FLAIR MRI.
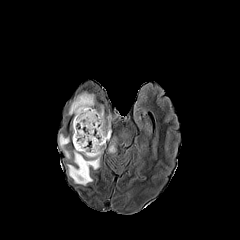
T1-weighted MR.
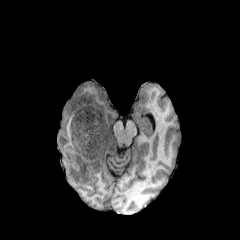
Post-contrast T1-weighted MR.
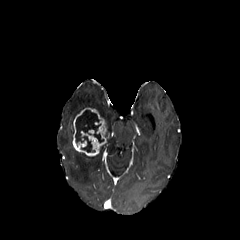
T2-weighted MR.
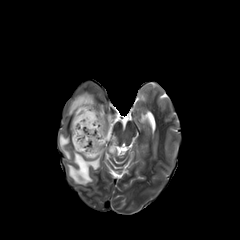
Brain
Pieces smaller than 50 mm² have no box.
peritumoral_edema:
  - (left=68, top=92, right=95, bottom=117)
  - (left=59, top=134, right=71, bottom=159)
  - (left=98, top=105, right=104, bottom=118)
  - (left=106, top=115, right=111, bottom=136)
  - (left=67, top=145, right=103, bottom=185)
  - (left=108, top=136, right=117, bottom=152)
enhancing_tumor:
  - (left=72, top=107, right=109, bottom=156)
necrotic_tumor_core:
  - (left=75, top=110, right=103, bottom=152)